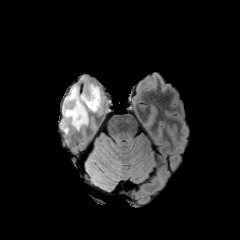
FLAIR MR image.
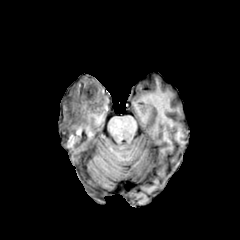
T1-weighted magnetic resonance.
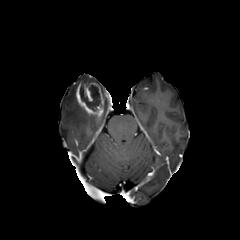
Same slice, post-contrast T1-weighted MR.
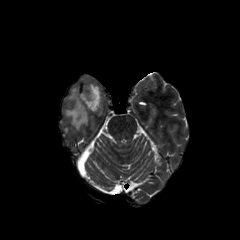
T2-weighted magnetic resonance of the same slice.
240x240 px; Axial view
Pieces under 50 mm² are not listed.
The largest peritumoral edema region lies within [63,84,88,129]. The necrotic tumor core is at [80,85,100,111]. The enhancing tumor is at [75,82,104,116].